Head, Axial view
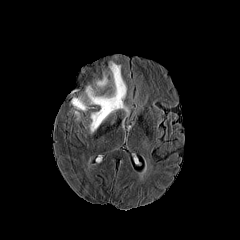
FLAIR MRI.
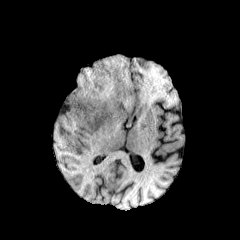
T1-weighted MR.
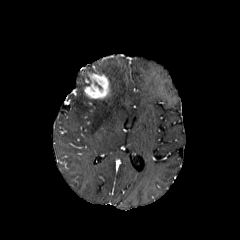
Post-contrast T1-weighted MR.
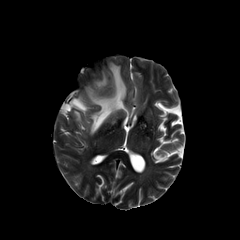
Same slice, T2-weighted magnetic resonance.
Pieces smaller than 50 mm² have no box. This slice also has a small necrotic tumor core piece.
The enhancing tumor appears at (84, 74, 109, 98). The 2 largest peritumoral edema regions are located at (88, 62, 128, 133), (71, 96, 88, 111).